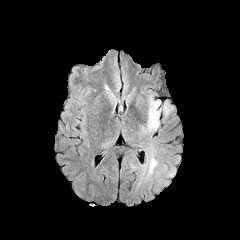
FLAIR MRI.
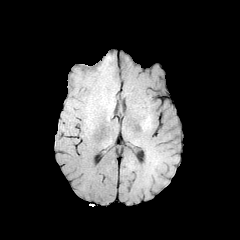
T1-weighted MRI of the same slice.
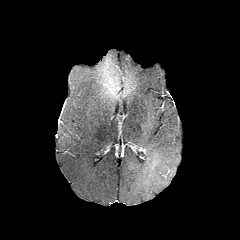
Post-contrast T1-weighted MR.
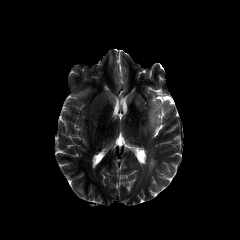
T2-weighted MR image of the same slice.
240x240 | Axial plane
{"peritumoral_edema": ["box(101, 134, 118, 147)", "box(123, 90, 181, 187)"]}